FLAIR magnetic resonance.
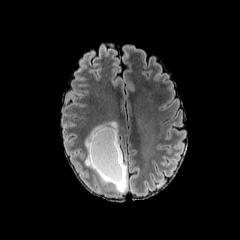
T1-weighted MR image.
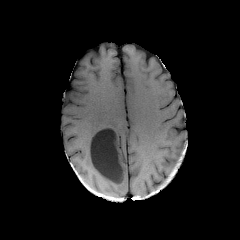
Post-contrast T1-weighted MRI.
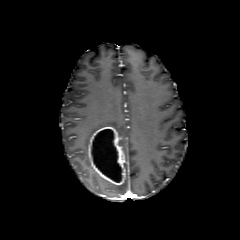
T2-weighted MR image.
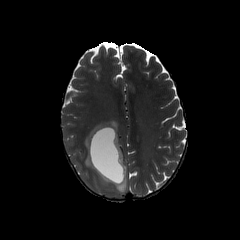
Image size 240x240; Brain
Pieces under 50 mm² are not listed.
{
  "necrotic_tumor_core": [
    "<box>91,129,122,182</box>"
  ],
  "peritumoral_edema": [
    "<box>84,121,127,192</box>"
  ],
  "enhancing_tumor": [
    "<box>88,126,125,185</box>"
  ]
}